Head. Image size 240x240. Slice 55/155.
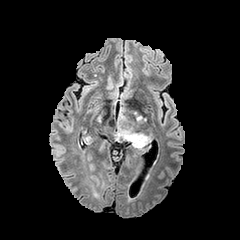
FLAIR MR image.
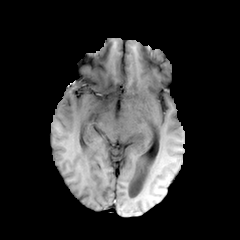
Same slice, T1-weighted MR image.
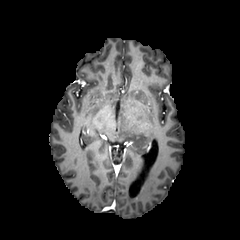
Same slice, post-contrast T1-weighted MR.
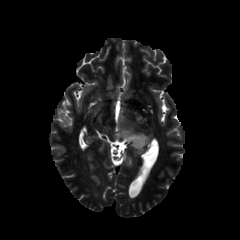
T2-weighted magnetic resonance.
peritumoral edema: 118,118,149,150